Axial slice
FLAIR magnetic resonance.
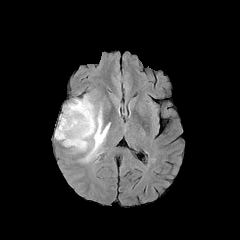
T1-weighted MRI.
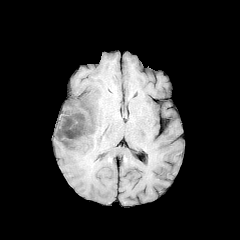
Post-contrast T1-weighted MRI.
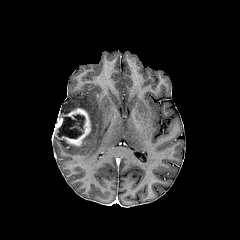
T2-weighted MR.
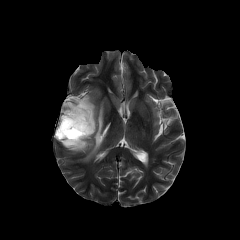
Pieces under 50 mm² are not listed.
Findings:
* necrotic tumor core: (x1=56, y1=114, x2=84, y2=138)
* peritumoral edema: (x1=58, y1=95, x2=109, y2=161)
* enhancing tumor: (x1=54, y1=108, x2=91, y2=146)